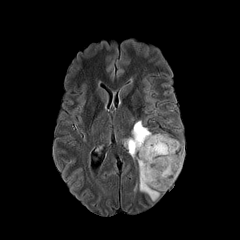
FLAIR MR image.
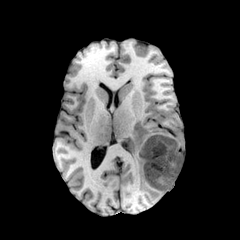
T1-weighted MR of the same slice.
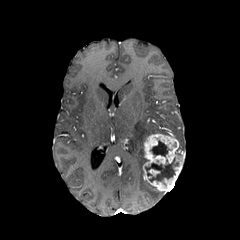
Same slice, post-contrast T1-weighted MR image.
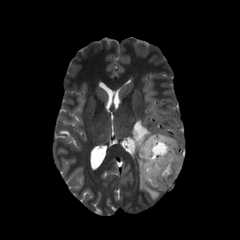
T2-weighted MR image of the same slice.
Brain, Axial slice
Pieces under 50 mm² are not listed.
{"peritumoral_edema": ["rect(128, 120, 159, 200)"], "necrotic_tumor_core": ["rect(151, 140, 169, 156)", "rect(145, 158, 178, 181)"], "enhancing_tumor": ["rect(142, 134, 184, 192)"]}